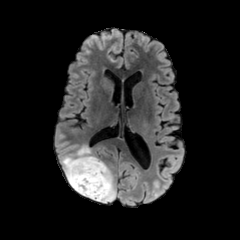
FLAIR magnetic resonance.
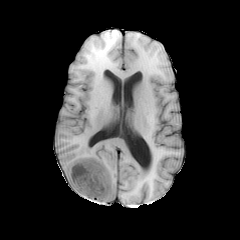
T1-weighted magnetic resonance.
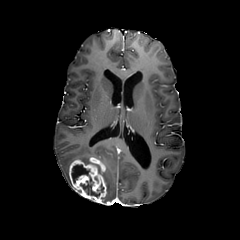
Post-contrast T1-weighted MR.
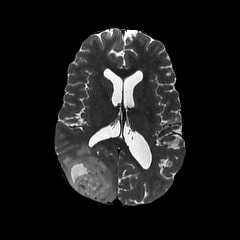
Same slice, T2-weighted MR image.
Axial plane
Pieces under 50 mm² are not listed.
necrotic tumor core: <box>71,164,104,197</box> | enhancing tumor: <box>69,157,107,203</box> | peritumoral edema: <box>61,144,95,184</box>, <box>102,164,116,203</box>